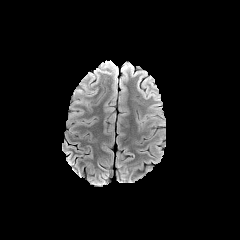
FLAIR magnetic resonance.
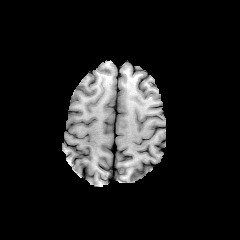
Same slice, T1-weighted magnetic resonance.
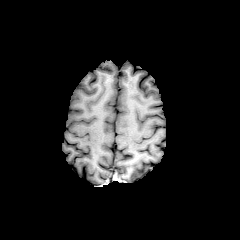
Post-contrast T1-weighted magnetic resonance of the same slice.
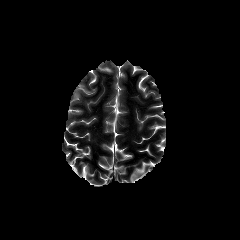
T2-weighted MR image.
Image size 240x240, Axial view
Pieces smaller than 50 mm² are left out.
<segmentation>
  <peritumoral_edema>[74,89,82,95]</peritumoral_edema>
</segmentation>